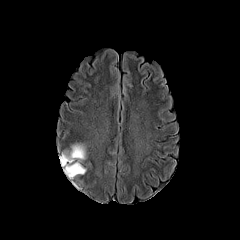
FLAIR MR image.
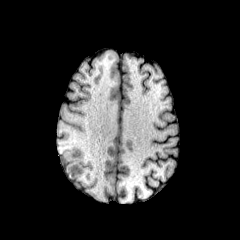
T1-weighted MR.
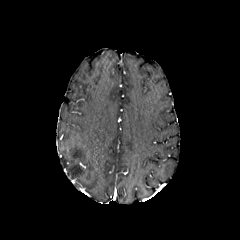
Post-contrast T1-weighted MR image.
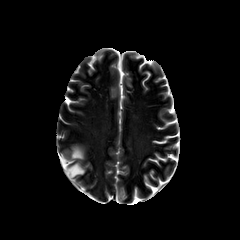
T2-weighted MRI.
Brain
peritumoral edema: bounding box [60, 144, 85, 178]